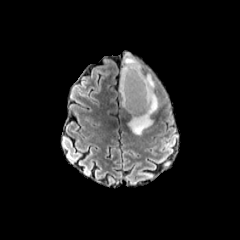
FLAIR MR.
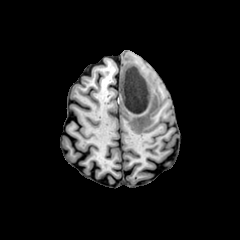
T1-weighted MR of the same slice.
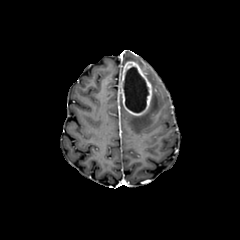
Post-contrast T1-weighted magnetic resonance of the same slice.
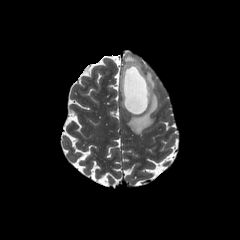
T2-weighted MR image of the same slice.
Brain, Image size 240x240
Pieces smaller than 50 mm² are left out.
peritumoral edema: bounding box [123,53,141,68], [128,72,158,134]
enhancing tumor: bounding box [120,61,152,115]
necrotic tumor core: bounding box [123,67,148,112]